FLAIR MRI.
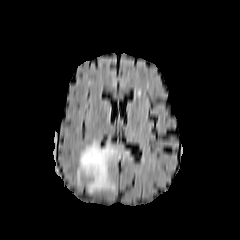
T1-weighted magnetic resonance.
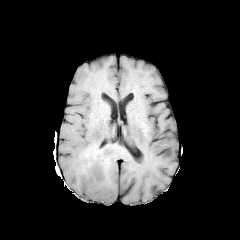
Post-contrast T1-weighted MR.
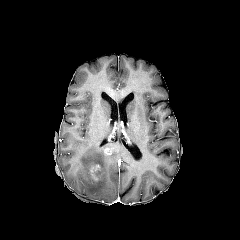
T2-weighted MRI.
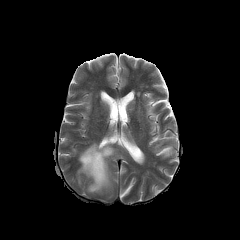
240x240 px
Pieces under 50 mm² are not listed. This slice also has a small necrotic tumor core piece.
The peritumoral edema appears at [75, 141, 128, 195]. The largest enhancing tumor region appears at [90, 164, 100, 180].